FLAIR MRI.
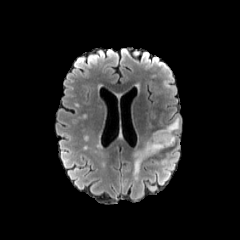
T1-weighted MR.
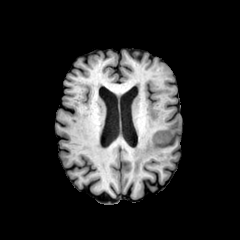
Post-contrast T1-weighted MR image.
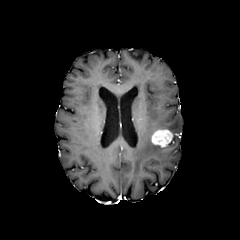
T2-weighted MR image.
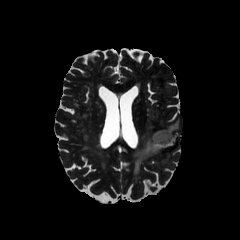
Axial view.
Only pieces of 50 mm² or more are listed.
enhancing tumor = {"x1": 151, "y1": 129, "x2": 173, "y2": 147}
peritumoral edema = {"x1": 131, "y1": 133, "x2": 167, "y2": 176}, {"x1": 158, "y1": 117, "x2": 179, "y2": 133}